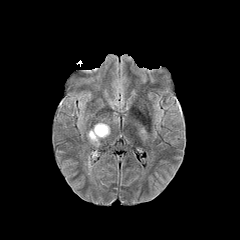
FLAIR MRI.
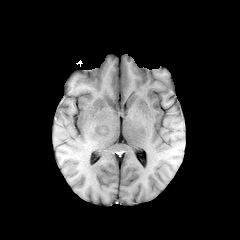
T1-weighted magnetic resonance of the same slice.
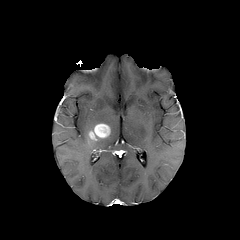
Post-contrast T1-weighted MR of the same slice.
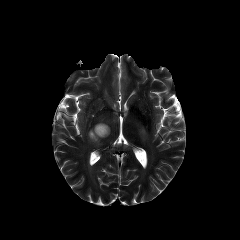
T2-weighted magnetic resonance.
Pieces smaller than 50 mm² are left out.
enhancing tumor: 89,123,110,140 | peritumoral edema: 88,133,103,145